Slice 63 of 155 | Axial slice | 240x240
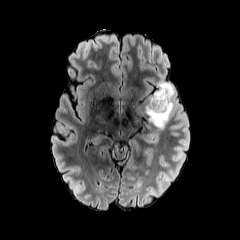
FLAIR magnetic resonance.
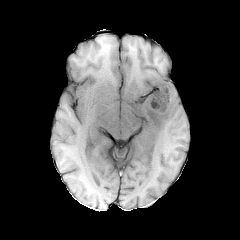
T1-weighted MR.
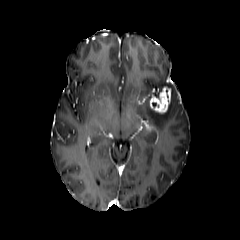
Post-contrast T1-weighted MRI of the same slice.
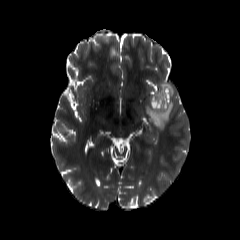
T2-weighted magnetic resonance of the same slice.
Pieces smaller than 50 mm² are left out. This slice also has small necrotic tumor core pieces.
The peritumoral edema lies within left=145, top=80, right=175, bottom=129. The enhancing tumor appears at left=150, top=86, right=171, bottom=113.